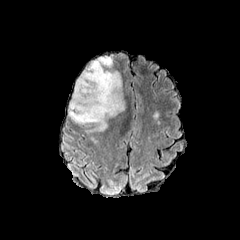
FLAIR MRI.
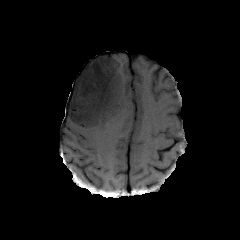
T1-weighted magnetic resonance.
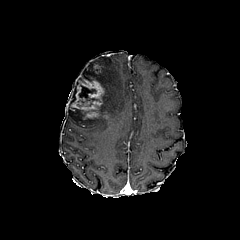
Same slice, post-contrast T1-weighted MRI.
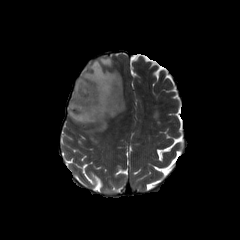
T2-weighted MR.
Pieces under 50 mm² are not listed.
{"enhancing_tumor": ["93, 64, 101, 72", "71, 75, 105, 118"], "peritumoral_edema": ["68, 56, 125, 132"], "necrotic_tumor_core": ["78, 85, 98, 101"]}